Axial slice, Slice 60 of 155, Image covers 240 mm x 240 mm
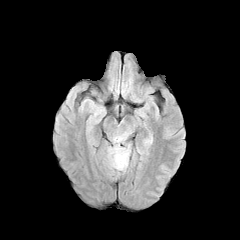
FLAIR magnetic resonance.
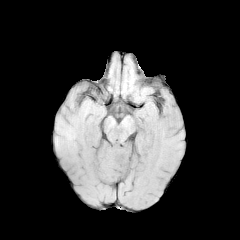
T1-weighted magnetic resonance.
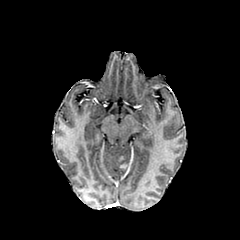
Post-contrast T1-weighted MRI.
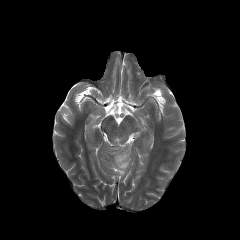
T2-weighted MRI of the same slice.
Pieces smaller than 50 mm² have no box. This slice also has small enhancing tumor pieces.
peritumoral edema: box(107, 132, 130, 175)